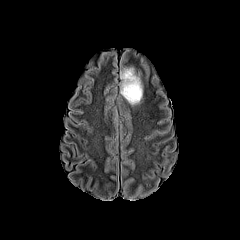
FLAIR MR image.
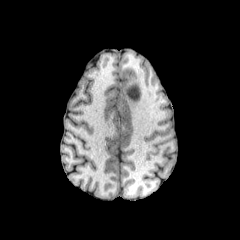
Same slice, T1-weighted MR.
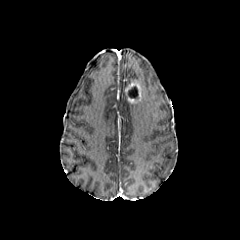
Same slice, post-contrast T1-weighted MR.
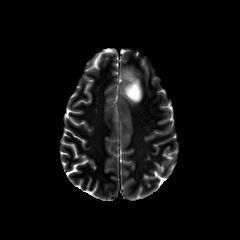
T2-weighted magnetic resonance.
Brain
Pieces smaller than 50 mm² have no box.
Annotated regions:
- enhancing tumor: <bbox>124, 79, 141, 103</bbox>
- peritumoral edema: <bbox>120, 68, 142, 99</bbox>
- necrotic tumor core: <bbox>128, 86, 138, 97</bbox>